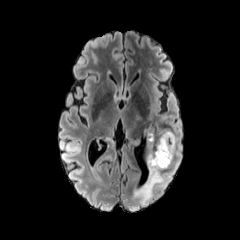
FLAIR MRI.
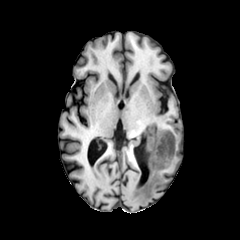
T1-weighted magnetic resonance of the same slice.
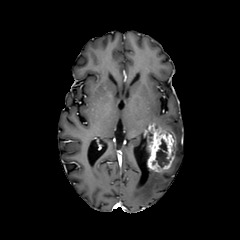
Same slice, post-contrast T1-weighted MR image.
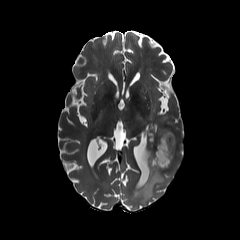
T2-weighted magnetic resonance of the same slice.
Image size 240x240. Axial plane.
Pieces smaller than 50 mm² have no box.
enhancing tumor: rect(147, 122, 175, 171)
peritumoral edema: rect(142, 131, 149, 163); rect(132, 171, 163, 204); rect(173, 135, 180, 158)
necrotic tumor core: rect(156, 139, 170, 167)